Brain. Axial view. Image width 240 mm.
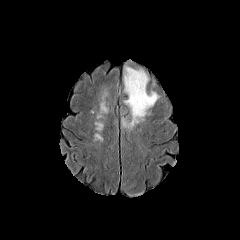
FLAIR MRI.
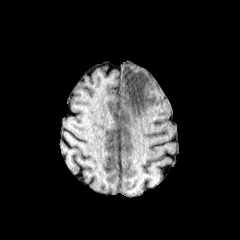
Same slice, T1-weighted magnetic resonance.
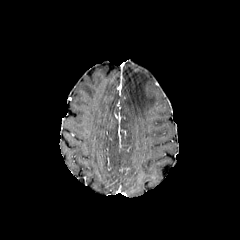
Post-contrast T1-weighted MR image of the same slice.
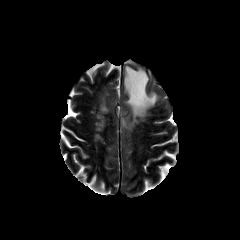
T2-weighted MR image of the same slice.
peritumoral edema: (121,66,158,130)